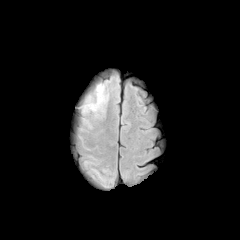
FLAIR MR image.
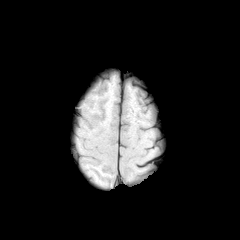
T1-weighted MRI.
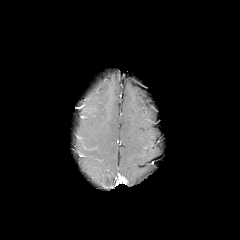
Post-contrast T1-weighted magnetic resonance.
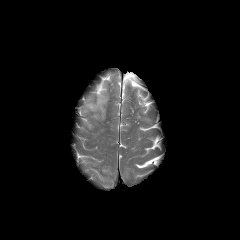
Same slice, T2-weighted MRI.
Brain
peritumoral edema: bounding box box=[84, 84, 107, 111]